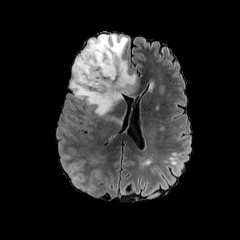
FLAIR MR.
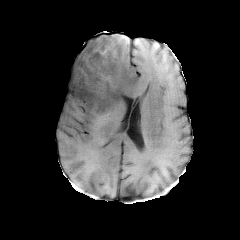
T1-weighted MR of the same slice.
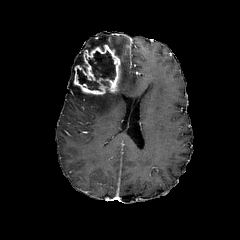
Post-contrast T1-weighted MR.
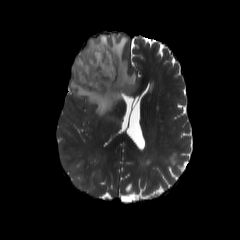
T2-weighted MR image of the same slice.
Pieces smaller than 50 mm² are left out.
enhancing tumor: 73 44 121 94 | peritumoral edema: 69 35 135 116 | necrotic tumor core: 88 51 115 79, 77 68 99 89